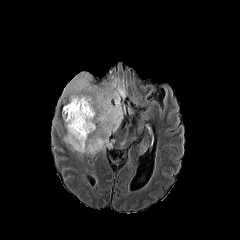
FLAIR MR.
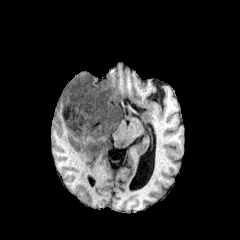
T1-weighted MR image.
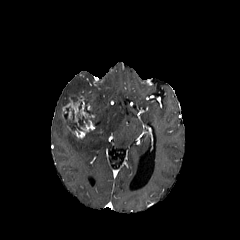
Post-contrast T1-weighted MR image of the same slice.
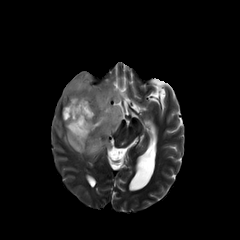
T2-weighted magnetic resonance of the same slice.
240x240 | Axial plane
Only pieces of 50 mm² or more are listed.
enhancing tumor: x1=62 y1=91 x2=95 y2=139 | necrotic tumor core: x1=78 y1=116 x2=87 y2=126, x1=84 y1=98 x2=93 y2=114, x1=68 y1=122 x2=80 y2=130 | peritumoral edema: x1=61 y1=72 x2=127 y2=154